Axial view | Slice 87 of 155 | Head
FLAIR MR image.
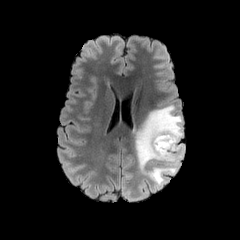
T1-weighted MR image.
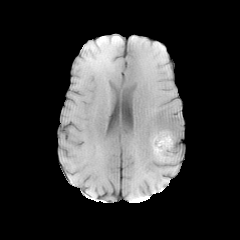
Post-contrast T1-weighted MRI.
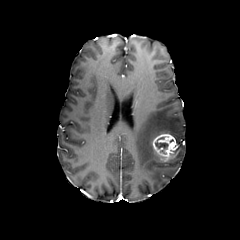
T2-weighted MRI.
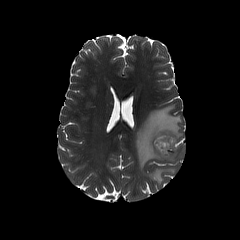
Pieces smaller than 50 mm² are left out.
necrotic tumor core: bounding box (left=155, top=140, right=167, bottom=148)
peritumoral edema: bounding box (left=135, top=104, right=184, bottom=187)
enhancing tumor: bounding box (left=152, top=133, right=178, bottom=161)